Brain, 240x240, Slice 102 of 155
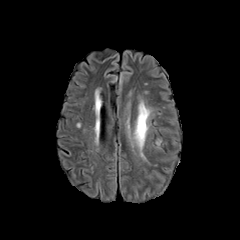
FLAIR MR.
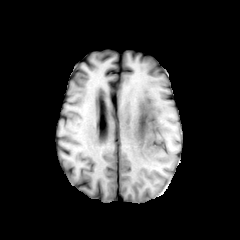
T1-weighted MR image of the same slice.
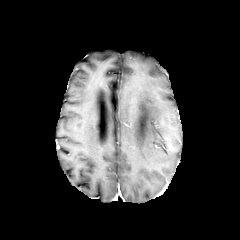
Post-contrast T1-weighted MR.
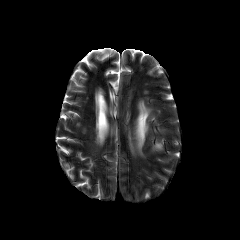
Same slice, T2-weighted MR image.
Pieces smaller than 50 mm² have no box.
<segmentation>
  <peritumoral_edema>left=134, top=101, right=150, bottom=156</peritumoral_edema>
</segmentation>